Image covers 240 mm x 240 mm. Axial plane.
FLAIR magnetic resonance.
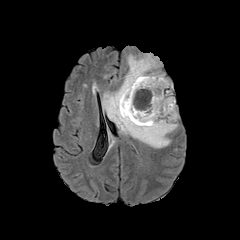
T1-weighted MR.
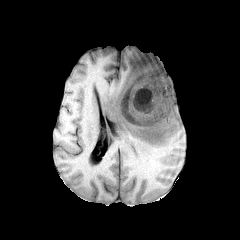
Post-contrast T1-weighted MR.
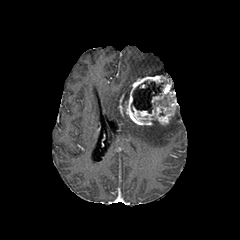
T2-weighted MR image.
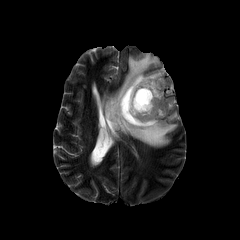
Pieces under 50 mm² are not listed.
necrotic_tumor_core:
  - (x1=131, y1=81, x2=164, y2=113)
peritumoral_edema:
  - (x1=102, y1=53, x2=179, y2=148)
  - (x1=121, y1=87, x2=130, y2=114)
enhancing_tumor:
  - (x1=118, y1=75, x2=177, y2=125)